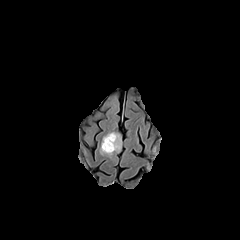
FLAIR magnetic resonance.
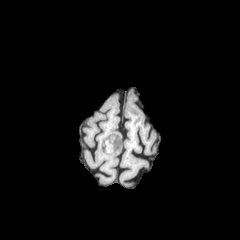
T1-weighted MR image.
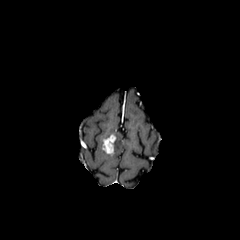
Post-contrast T1-weighted MR image of the same slice.
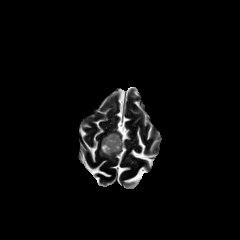
T2-weighted magnetic resonance.
240x240 px; Axial slice
2 peritumoral edema regions appear at l=99, t=139, r=113, b=158; l=103, t=132, r=122, b=154. The enhancing tumor appears at l=102, t=134, r=116, b=154.